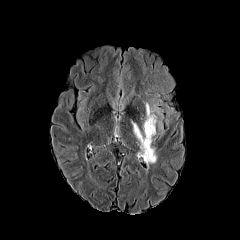
FLAIR MR.
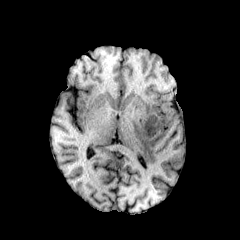
Same slice, T1-weighted magnetic resonance.
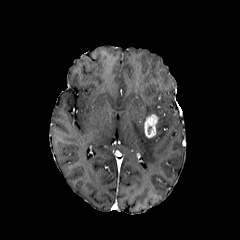
Same slice, post-contrast T1-weighted MR.
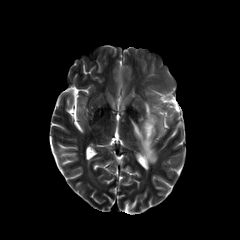
T2-weighted MR.
Head, Axial slice, Image size 240x240
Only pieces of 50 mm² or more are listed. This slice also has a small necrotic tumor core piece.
The 2 largest peritumoral edema regions are located at 132,121,156,165; 145,103,158,117. The enhancing tumor is at 144,114,158,138.